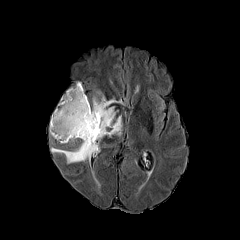
FLAIR MR image.
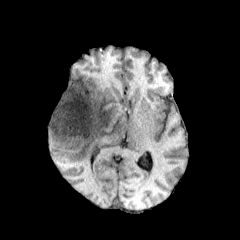
Same slice, T1-weighted magnetic resonance.
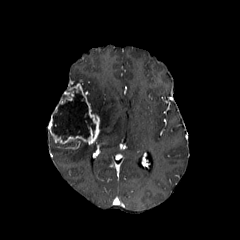
Post-contrast T1-weighted magnetic resonance.
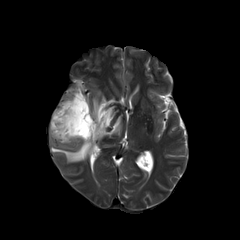
T2-weighted magnetic resonance.
Image size 240x240; Axial plane
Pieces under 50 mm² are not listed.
enhancing_tumor:
  - <box>48,83,100,144</box>
necrotic_tumor_core:
  - <box>52,89,95,140</box>
peritumoral_edema:
  - <box>51,139,96,163</box>
  - <box>91,91,122,141</box>